Brain; Slice index 116
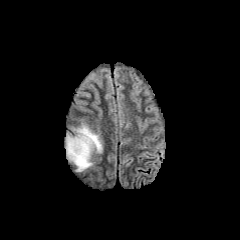
FLAIR MRI.
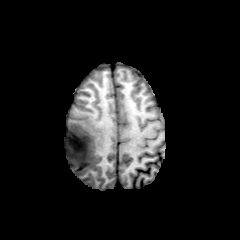
Same slice, T1-weighted MR.
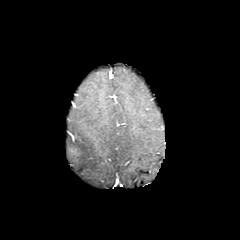
Same slice, post-contrast T1-weighted magnetic resonance.
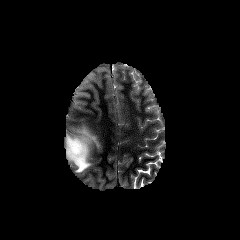
T2-weighted magnetic resonance of the same slice.
peritumoral edema: region(65, 123, 102, 172)